FLAIR MRI.
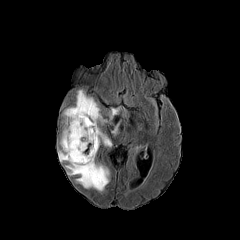
T1-weighted MRI.
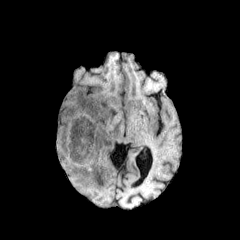
Post-contrast T1-weighted MR.
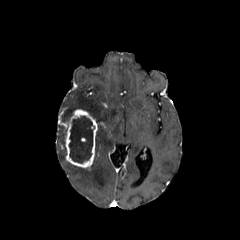
T2-weighted MR image.
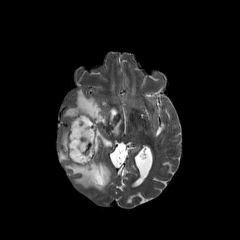
Head, Axial plane
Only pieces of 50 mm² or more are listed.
enhancing tumor = left=65, top=109, right=97, bottom=168
peritumoral edema = left=109, top=108, right=117, bottom=119; left=95, top=128, right=111, bottom=154; left=61, top=130, right=66, bottom=146; left=65, top=158, right=110, bottom=191; left=58, top=148, right=66, bottom=161; left=64, top=90, right=106, bottom=122
necrotic tumor core = left=69, top=116, right=93, bottom=163